FLAIR magnetic resonance.
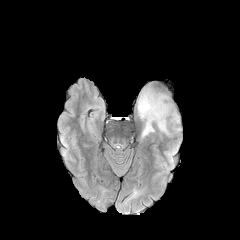
T1-weighted magnetic resonance.
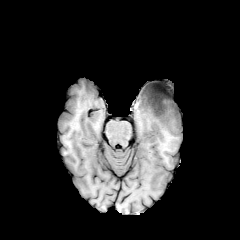
Post-contrast T1-weighted MRI.
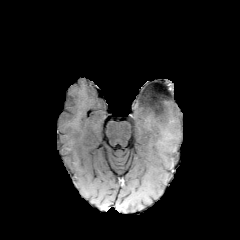
T2-weighted magnetic resonance.
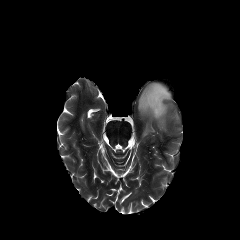
Head; Axial plane
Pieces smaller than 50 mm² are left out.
necrotic tumor core: (left=143, top=84, right=169, bottom=114) | peritumoral edema: (left=137, top=85, right=179, bottom=137)